FLAIR MRI.
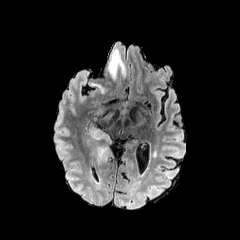
T1-weighted magnetic resonance.
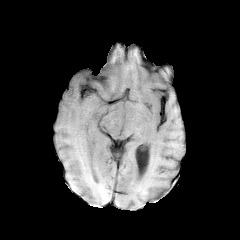
Post-contrast T1-weighted MRI.
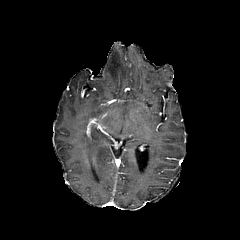
T2-weighted magnetic resonance.
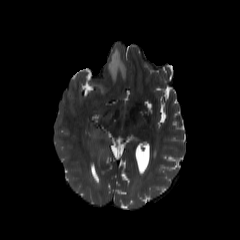
Axial plane
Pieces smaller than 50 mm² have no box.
Findings:
* peritumoral edema: [x1=108, y1=49, x2=125, y2=80]